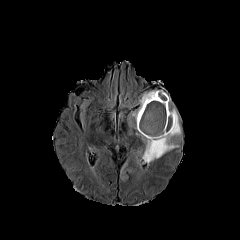
FLAIR MR.
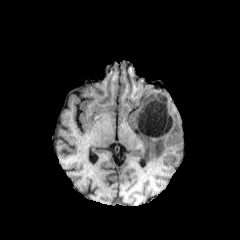
T1-weighted MR.
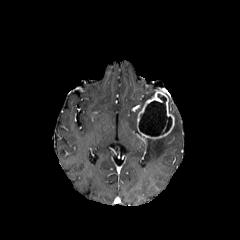
Same slice, post-contrast T1-weighted MR.
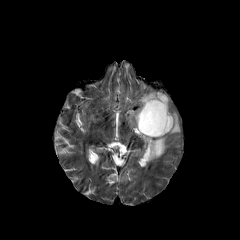
T2-weighted MR image.
Axial slice.
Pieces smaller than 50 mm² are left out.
enhancing_tumor:
  - 137 90 174 139
peritumoral_edema:
  - 143 108 181 163
  - 139 91 155 107
necrotic_tumor_core:
  - 138 94 171 136